FLAIR magnetic resonance.
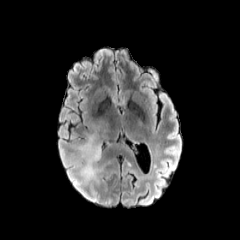
T1-weighted MR image.
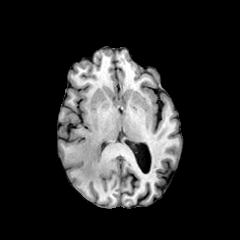
Post-contrast T1-weighted MR.
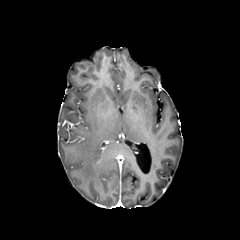
T2-weighted MR image.
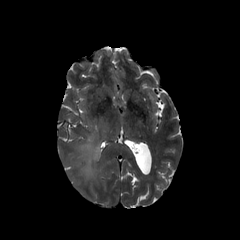
The peritumoral edema is bounded by [78, 134, 102, 181].